Image covers 240 mm x 240 mm; Slice 105 of 155
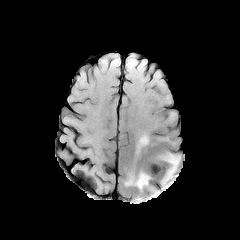
FLAIR MR.
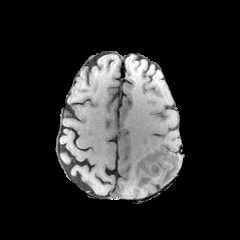
T1-weighted MR image of the same slice.
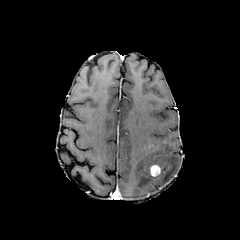
Same slice, post-contrast T1-weighted MR.
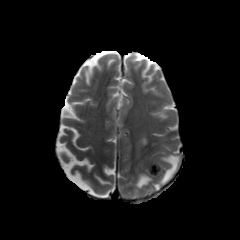
T2-weighted MR image of the same slice.
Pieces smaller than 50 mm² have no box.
enhancing tumor: bounding box <box>150,166,159,175</box>
peritumoral edema: bounding box <box>134,164,150,189</box>, <box>125,156,138,185</box>, <box>135,135,148,155</box>, <box>148,154,180,185</box>